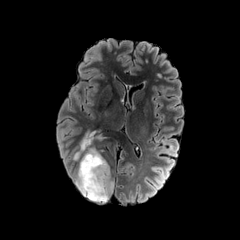
FLAIR MRI.
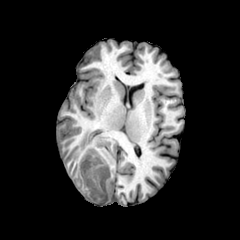
Same slice, T1-weighted MR.
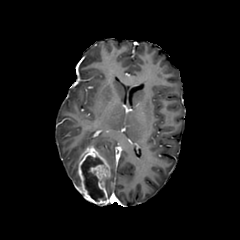
Post-contrast T1-weighted MR.
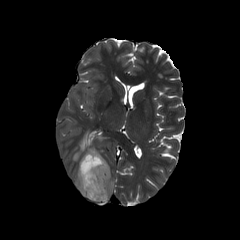
T2-weighted MR.
240x240 px.
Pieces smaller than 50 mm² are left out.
Findings:
- enhancing tumor: l=78, t=147, r=111, b=204
- peritumoral edema: l=108, t=177, r=113, b=198; l=75, t=168, r=80, b=187; l=73, t=131, r=93, b=162
- necrotic tumor core: l=81, t=155, r=106, b=201